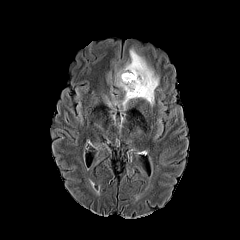
FLAIR MR.
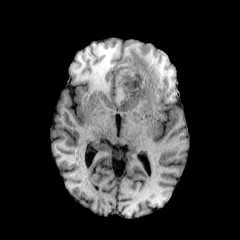
T1-weighted MRI of the same slice.
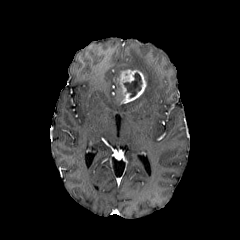
Post-contrast T1-weighted MR image.
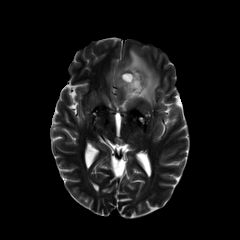
T2-weighted MRI.
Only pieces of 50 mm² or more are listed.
{
  "peritumoral_edema": [
    "121,49,159,105"
  ],
  "enhancing_tumor": [
    "118,69,146,103"
  ],
  "necrotic_tumor_core": [
    "124,73,141,97"
  ]
}